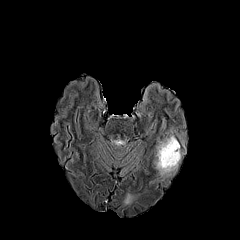
FLAIR MRI.
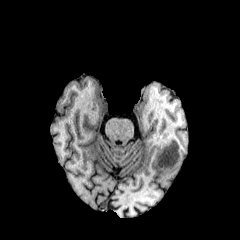
Same slice, T1-weighted magnetic resonance.
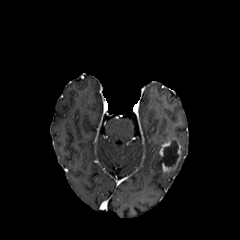
Same slice, post-contrast T1-weighted MR.
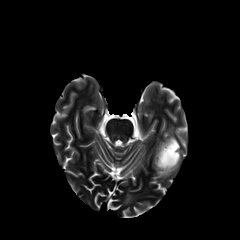
T2-weighted MRI of the same slice.
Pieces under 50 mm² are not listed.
The necrotic tumor core is at 160:140:178:166. The 2 largest enhancing tumor regions are located at 162:141:180:172, 159:140:170:156. 2 peritumoral edema regions appear at 123:193:134:204, 154:135:174:176.